Image width 240 mm, 1.00 mm slice spacing, Head, 240x240 px
FLAIR MRI.
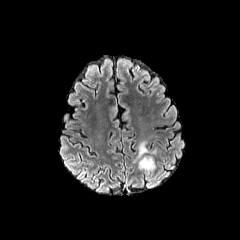
T1-weighted MR image.
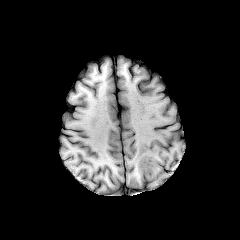
Post-contrast T1-weighted magnetic resonance.
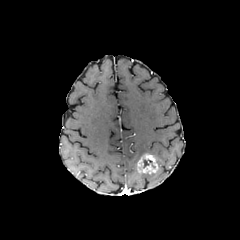
T2-weighted MRI.
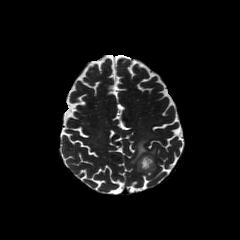
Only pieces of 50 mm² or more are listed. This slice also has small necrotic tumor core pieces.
enhancing_tumor:
  - 137, 154, 157, 173
peritumoral_edema:
  - 134, 141, 156, 162